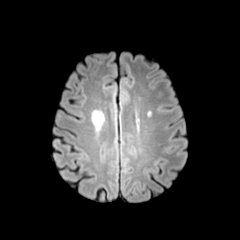
FLAIR MRI.
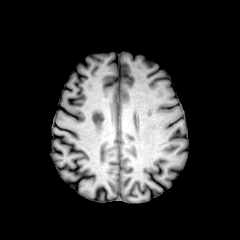
T1-weighted MRI of the same slice.
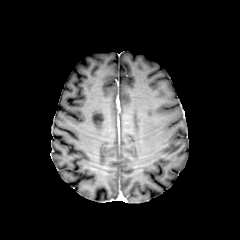
Post-contrast T1-weighted MR image.
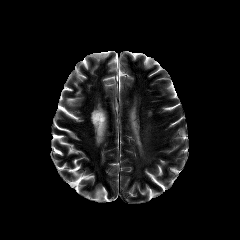
T2-weighted MR.
Head | 240x240
peritumoral edema: box(92, 111, 104, 129)